Image size 240x240. Head.
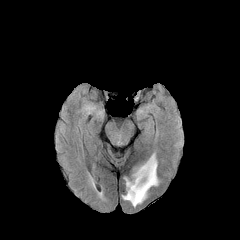
FLAIR MRI.
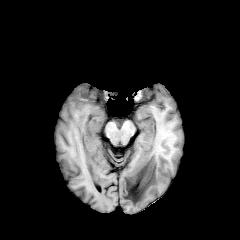
T1-weighted MR.
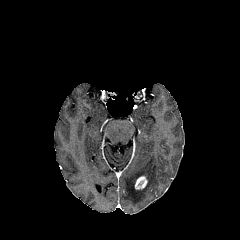
Post-contrast T1-weighted MR of the same slice.
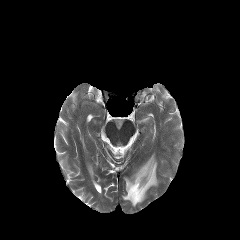
Same slice, T2-weighted MRI.
• peritumoral edema: bbox(122, 154, 158, 206)
• enhancing tumor: bbox(135, 176, 147, 189)